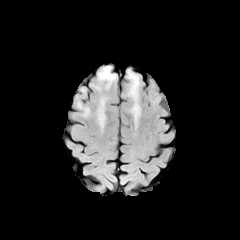
FLAIR MRI.
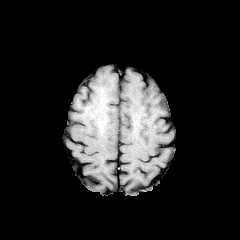
T1-weighted magnetic resonance of the same slice.
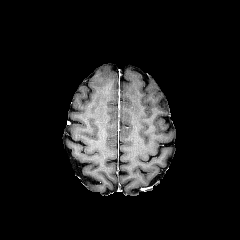
Post-contrast T1-weighted MR.
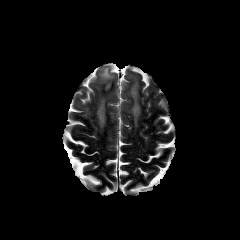
T2-weighted magnetic resonance.
240x240; Brain
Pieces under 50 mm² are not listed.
The 3 largest peritumoral edema regions appear at l=97, t=98, r=105, b=127; l=127, t=70, r=140, b=123; l=98, t=65, r=116, b=89.